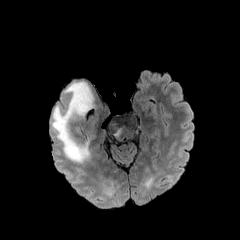
FLAIR magnetic resonance.
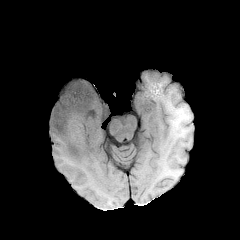
T1-weighted MR of the same slice.
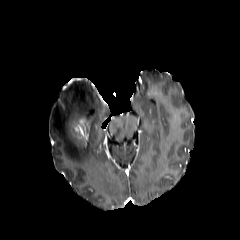
Post-contrast T1-weighted magnetic resonance.
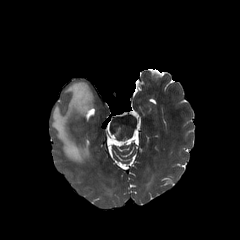
T2-weighted MRI of the same slice.
Axial view
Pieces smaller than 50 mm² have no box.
enhancing tumor — [74,118,88,139]
peritumoral edema — [51,82,93,163]